Slice 86/155, Brain, Image size 240x240
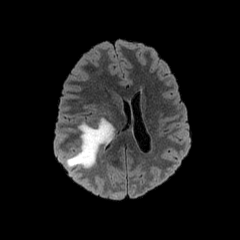
FLAIR MR.
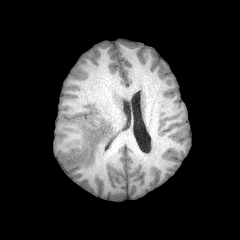
T1-weighted MR.
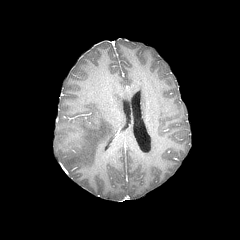
Post-contrast T1-weighted magnetic resonance.
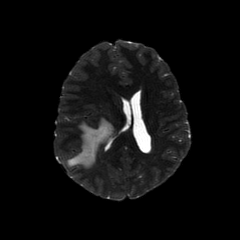
T2-weighted magnetic resonance of the same slice.
<segmentation>
  <peritumoral_edema>[65, 118, 114, 168]</peritumoral_edema>
</segmentation>